FLAIR MR image.
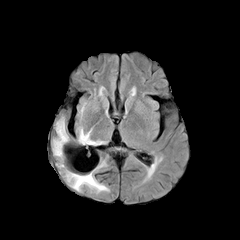
T1-weighted MR image.
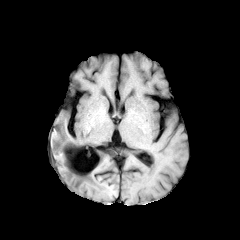
Post-contrast T1-weighted magnetic resonance.
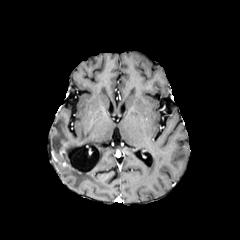
T2-weighted magnetic resonance.
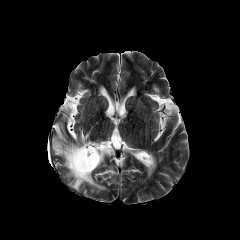
Head
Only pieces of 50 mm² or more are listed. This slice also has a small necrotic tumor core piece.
peritumoral edema: 52,119,67,156; 67,172,107,190; 79,128,98,144 | enhancing tumor: 60,150,71,166